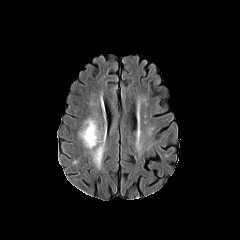
FLAIR MRI.
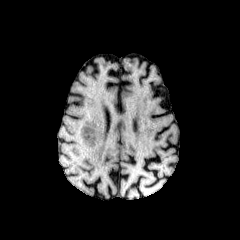
T1-weighted MRI.
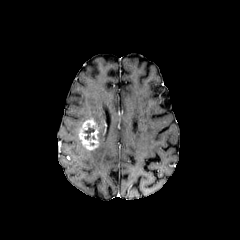
Post-contrast T1-weighted MRI.
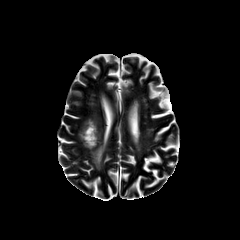
T2-weighted MR.
Brain. 240x240. Axial slice.
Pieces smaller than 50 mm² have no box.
The largest necrotic tumor core region is located at x1=84, y1=127, x2=94, y2=139. The peritumoral edema is located at x1=91, y1=133, x2=103, y2=168. The enhancing tumor appears at x1=79, y1=118, x2=98, y2=150.